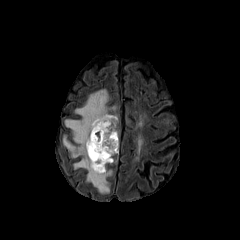
FLAIR magnetic resonance.
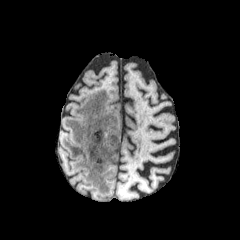
T1-weighted magnetic resonance.
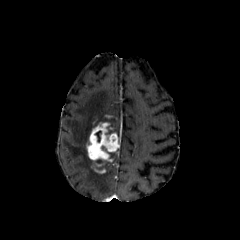
Post-contrast T1-weighted MR image.
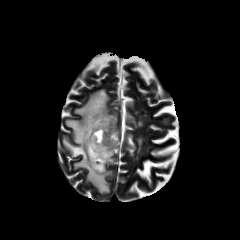
T2-weighted magnetic resonance of the same slice.
Head.
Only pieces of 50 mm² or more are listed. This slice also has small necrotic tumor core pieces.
<segmentation>
  <peritumoral_edema>63:89:117:193</peritumoral_edema>
  <enhancing_tumor>86:122:119:173</enhancing_tumor>
</segmentation>